Brain; 240x240 px; Image width 240 mm
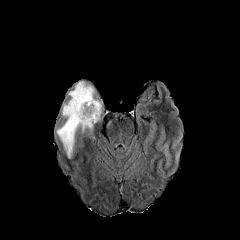
FLAIR MR.
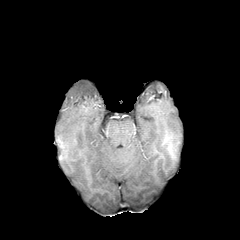
T1-weighted magnetic resonance.
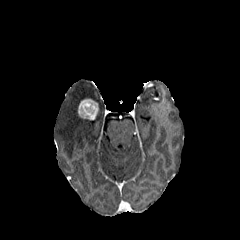
Post-contrast T1-weighted MR.
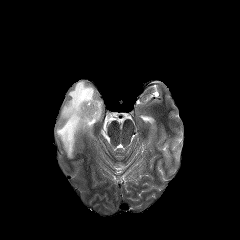
T2-weighted magnetic resonance.
The enhancing tumor is bounded by rect(78, 99, 98, 119). The peritumoral edema is at rect(56, 81, 102, 158).